FLAIR MRI.
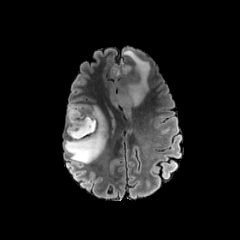
T1-weighted MR image.
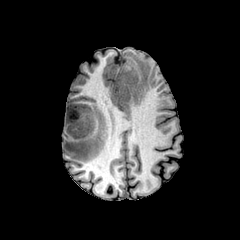
Post-contrast T1-weighted MRI.
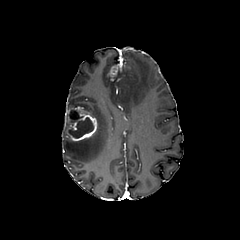
T2-weighted MR image.
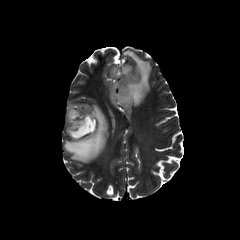
Brain.
<segmentation>
  <enhancing_tumor>x1=65 y1=106 x2=97 y2=140, x1=108 y1=59 x2=125 y2=79</enhancing_tumor>
  <necrotic_tumor_core>x1=68 y1=110 x2=93 y2=138</necrotic_tumor_core>
  <peritumoral_edema>x1=110 y1=49 x2=150 y2=107, x1=64 y1=103 x2=107 y2=163</peritumoral_edema>
</segmentation>